Slice 47/155 | Image size 240x240
FLAIR MR.
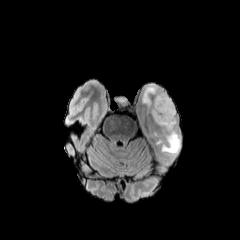
T1-weighted MR.
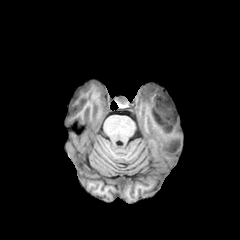
Post-contrast T1-weighted MR image.
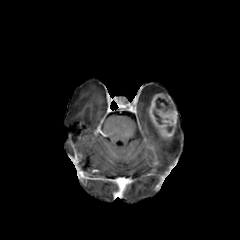
T2-weighted magnetic resonance.
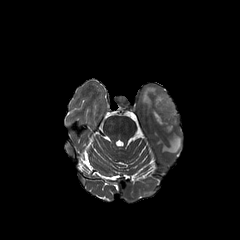
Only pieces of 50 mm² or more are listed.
The largest necrotic tumor core region appears at [156, 98, 167, 108]. The enhancing tumor is bounded by [148, 92, 177, 140]. 2 peritumoral edema regions are located at [142, 84, 166, 112], [154, 115, 181, 154].